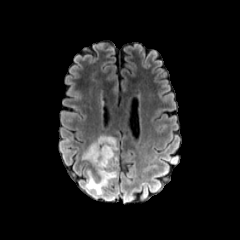
FLAIR MRI.
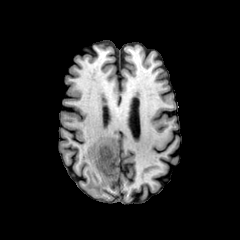
Same slice, T1-weighted magnetic resonance.
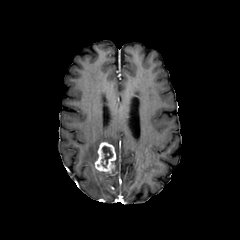
Post-contrast T1-weighted MR image.
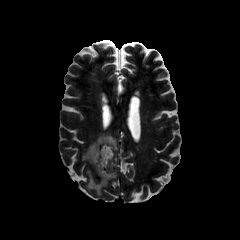
Same slice, T2-weighted MR.
Head, Axial plane
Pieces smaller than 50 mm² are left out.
- enhancing tumor: rect(94, 142, 116, 175)
- necrotic tumor core: rect(102, 146, 113, 164)
- peritumoral edema: rect(82, 135, 118, 195)